Slice 92/155, Image covers 240 mm x 240 mm, Head, Axial view
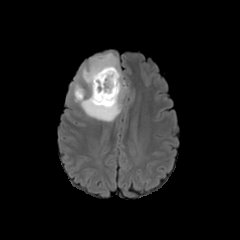
FLAIR MRI.
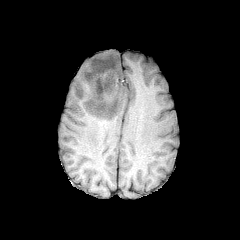
T1-weighted MR.
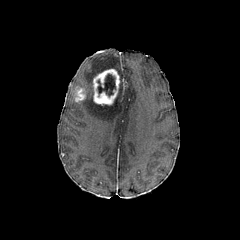
Post-contrast T1-weighted MRI.
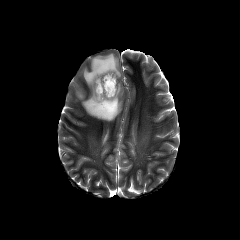
T2-weighted magnetic resonance.
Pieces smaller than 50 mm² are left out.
peritumoral edema: {"x1": 77, "y1": 53, "x2": 126, "y2": 121}
enhancing tumor: {"x1": 93, "y1": 69, "x2": 119, "y2": 105}, {"x1": 73, "y1": 86, "x2": 85, "y2": 101}
necrotic tumor core: {"x1": 97, "y1": 74, "x2": 115, "y2": 96}